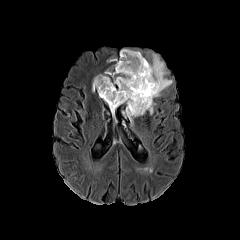
FLAIR MR.
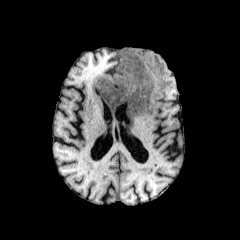
T1-weighted MR image of the same slice.
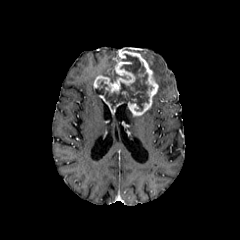
Post-contrast T1-weighted MR of the same slice.
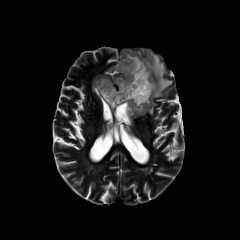
Same slice, T2-weighted MR.
Axial view
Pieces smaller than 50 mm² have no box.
{"necrotic_tumor_core": ["bbox(96, 54, 148, 110)"], "enhancing_tumor": ["bbox(99, 95, 123, 113)", "bbox(93, 49, 158, 116)"], "peritumoral_edema": ["bbox(144, 53, 172, 98)", "bbox(103, 67, 126, 82)", "bbox(126, 107, 135, 123)", "bbox(148, 101, 156, 114)"]}